Slice 45/155
FLAIR MRI.
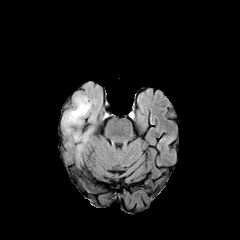
T1-weighted MR.
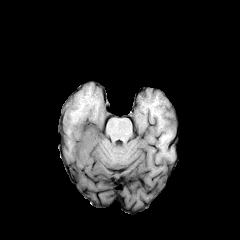
Post-contrast T1-weighted MR image.
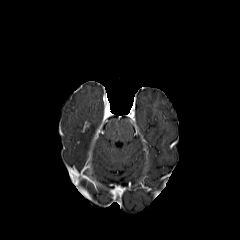
T2-weighted magnetic resonance.
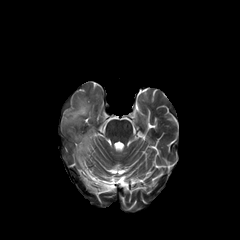
peritumoral edema — left=60, top=81, right=102, bottom=160